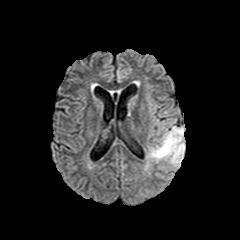
FLAIR magnetic resonance.
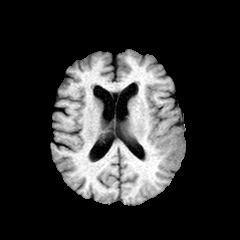
T1-weighted magnetic resonance.
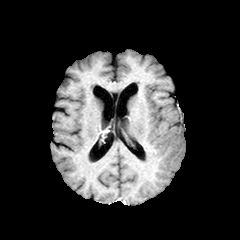
Post-contrast T1-weighted MRI.
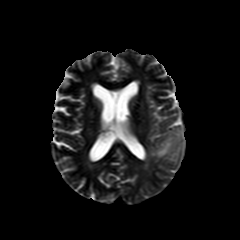
Same slice, T2-weighted magnetic resonance.
peritumoral edema: rect(149, 126, 185, 167)